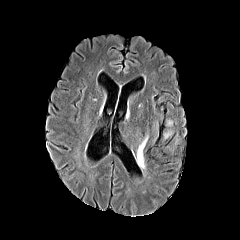
FLAIR magnetic resonance.
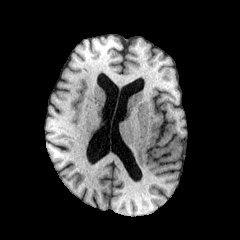
T1-weighted MR.
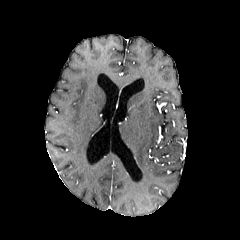
Post-contrast T1-weighted MR image of the same slice.
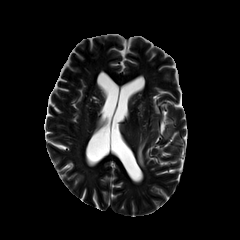
T2-weighted MRI.
Head.
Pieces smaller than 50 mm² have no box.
peritumoral_edema:
  - 137 137 147 168